Brain | Axial slice
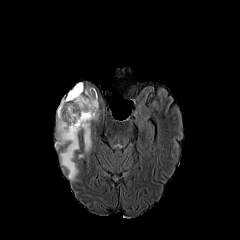
FLAIR magnetic resonance.
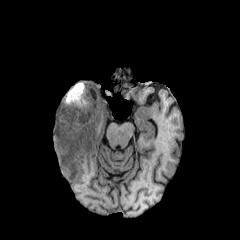
Same slice, T1-weighted MRI.
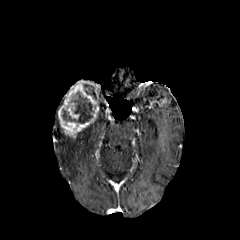
Post-contrast T1-weighted MRI of the same slice.
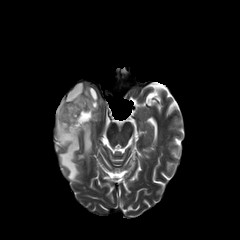
T2-weighted magnetic resonance of the same slice.
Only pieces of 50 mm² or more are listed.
2 necrotic tumor core regions are bounded by 84, 87, 96, 99; 62, 83, 93, 123. The 2 largest peritumoral edema regions are located at 55, 110, 79, 180; 83, 125, 91, 153. The largest enhancing tumor region lies within 58, 86, 99, 138.